Head; Image width 240 mm; Slice 91/155
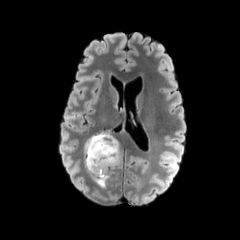
FLAIR MRI.
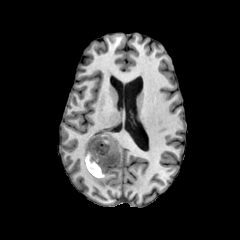
T1-weighted MRI of the same slice.
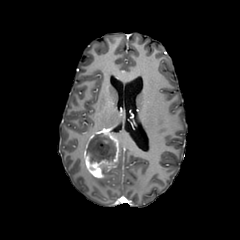
Post-contrast T1-weighted MR.
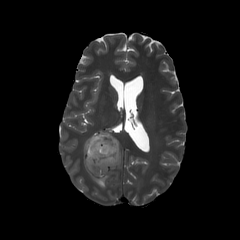
T2-weighted magnetic resonance.
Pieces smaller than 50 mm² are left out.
<segmentation>
  <necrotic_tumor_core>box=[87, 133, 116, 166]</necrotic_tumor_core>
  <peritumoral_edema>box=[90, 135, 123, 188]</peritumoral_edema>
  <enhancing_tumor>box=[84, 130, 119, 178]</enhancing_tumor>
</segmentation>